FLAIR MRI.
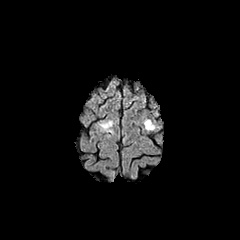
T1-weighted MR image.
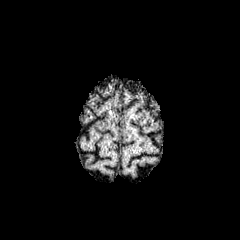
Post-contrast T1-weighted MR.
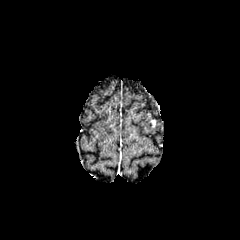
T2-weighted MR.
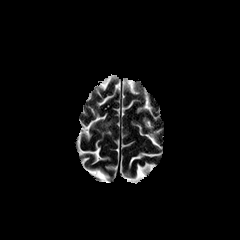
Head | Axial view
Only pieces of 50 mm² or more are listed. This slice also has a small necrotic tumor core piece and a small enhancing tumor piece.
2 peritumoral edema regions appear at box=[143, 119, 155, 130]; box=[99, 120, 113, 132].